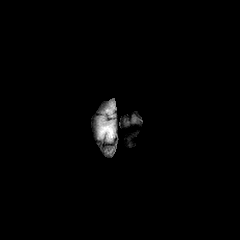
FLAIR MR.
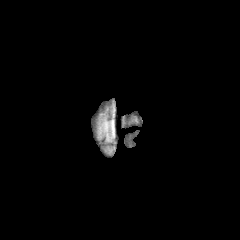
Same slice, T1-weighted magnetic resonance.
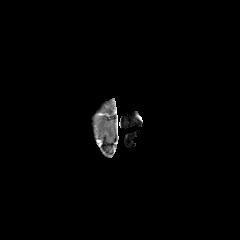
Post-contrast T1-weighted MR image.
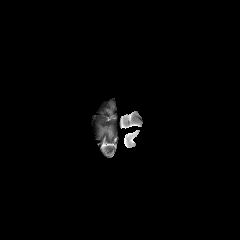
T2-weighted MR image.
Brain
peritumoral_edema:
  - x1=100, y1=126, x2=112, y2=137